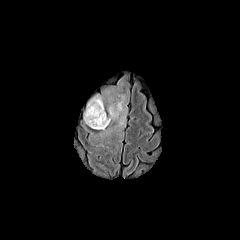
FLAIR MR image.
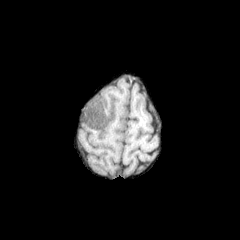
T1-weighted MRI.
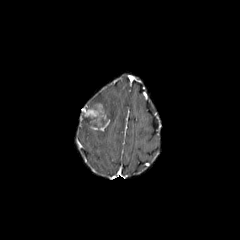
Post-contrast T1-weighted MRI.
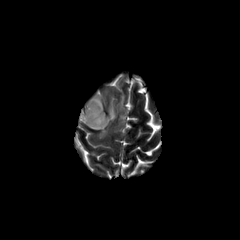
T2-weighted MR image.
240x240 px
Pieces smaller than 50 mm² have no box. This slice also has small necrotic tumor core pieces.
peritumoral_edema:
  - (87, 95, 104, 110)
  - (107, 95, 126, 129)
  - (99, 128, 110, 136)
enhancing_tumor:
  - (84, 103, 110, 130)